Slice 98/155
FLAIR MR.
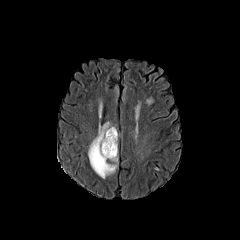
T1-weighted magnetic resonance.
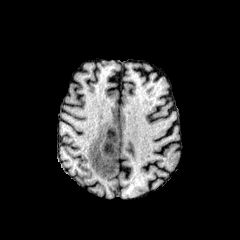
Post-contrast T1-weighted magnetic resonance.
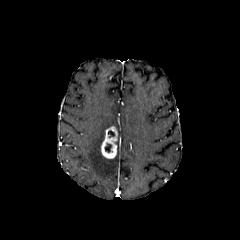
T2-weighted MR image.
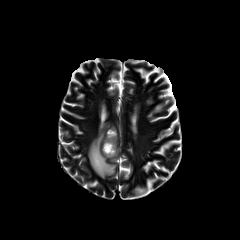
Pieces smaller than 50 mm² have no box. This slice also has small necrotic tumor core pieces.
enhancing tumor — <box>101,126,117,158</box>
peritumoral edema — <box>88,121,118,178</box>